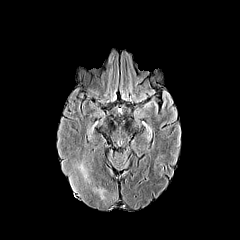
FLAIR MR.
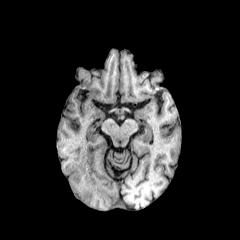
Same slice, T1-weighted MRI.
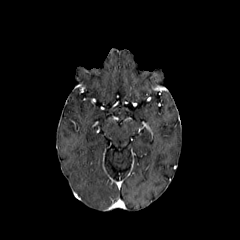
Post-contrast T1-weighted MR image.
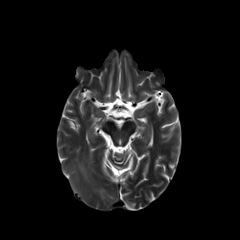
T2-weighted MR image.
Brain
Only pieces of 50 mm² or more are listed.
peritumoral_edema:
  - 78,163,87,179